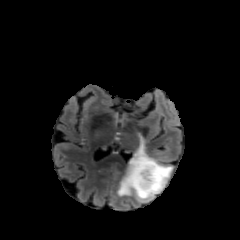
FLAIR MRI.
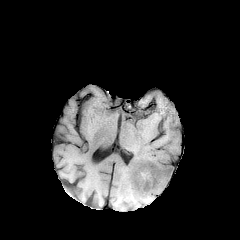
T1-weighted MR image of the same slice.
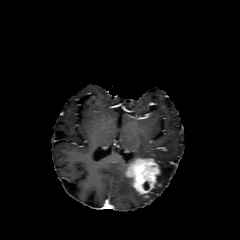
Same slice, post-contrast T1-weighted MR.
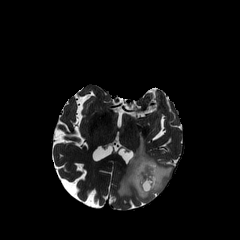
Same slice, T2-weighted MR image.
Axial plane | Head
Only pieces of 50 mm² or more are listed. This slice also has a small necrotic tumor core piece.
Segmented structures:
* enhancing tumor: bbox(126, 158, 160, 197)
* peritumoral edema: bbox(117, 137, 173, 202)